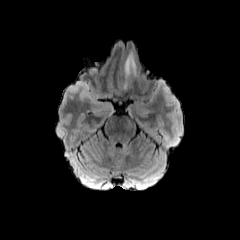
FLAIR MR image.
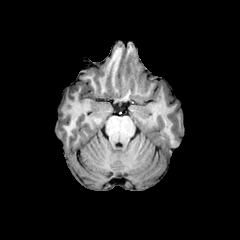
T1-weighted MR.
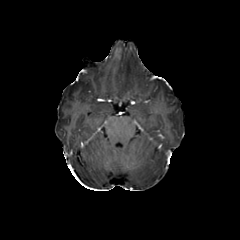
Post-contrast T1-weighted MR.
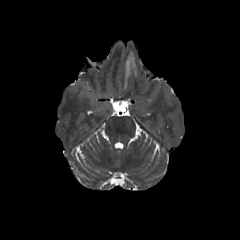
Same slice, T2-weighted MR image.
Image size 240x240, Axial plane
Segmented structures:
* peritumoral edema: 124, 52, 136, 88